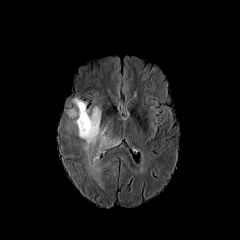
FLAIR MR image.
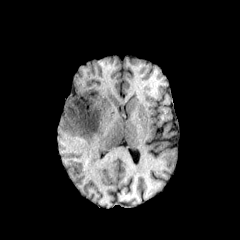
T1-weighted MR image of the same slice.
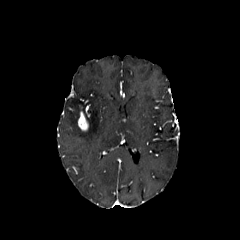
Post-contrast T1-weighted MR image of the same slice.
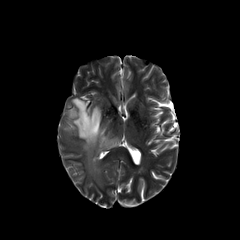
T2-weighted MRI.
Axial view
enhancing_tumor:
  - box(78, 106, 88, 131)
peritumoral_edema:
  - box(67, 97, 120, 185)